Head | Axial slice
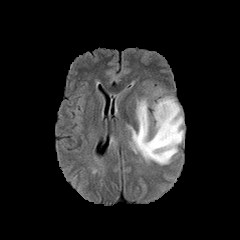
FLAIR magnetic resonance.
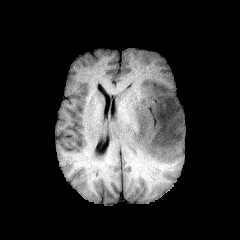
Same slice, T1-weighted MR image.
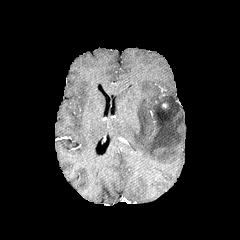
Post-contrast T1-weighted MRI.
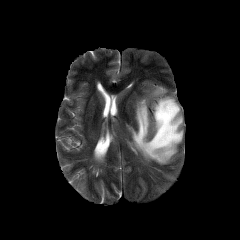
T2-weighted MR image.
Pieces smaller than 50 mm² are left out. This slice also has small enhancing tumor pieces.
{"peritumoral_edema": [{"x1": 127, "y1": 95, "x2": 183, "y2": 164}, {"x1": 152, "y1": 88, "x2": 165, "y2": 96}]}